FLAIR magnetic resonance.
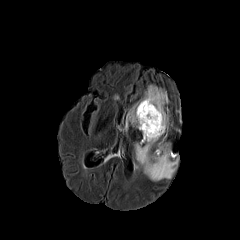
T1-weighted MR image.
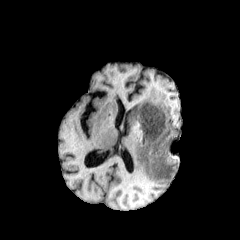
Post-contrast T1-weighted MRI.
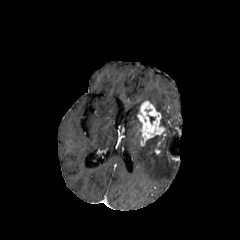
T2-weighted MR image.
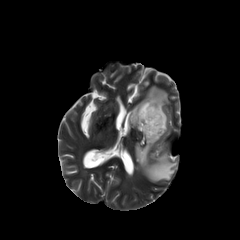
Axial view
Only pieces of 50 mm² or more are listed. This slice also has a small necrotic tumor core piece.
peritumoral edema — (x1=128, y1=85, x2=168, y2=130), (x1=135, y1=135, x2=177, y2=180)
enhancing tumor — (x1=137, y1=100, x2=165, y2=145)